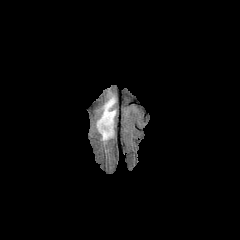
FLAIR MRI.
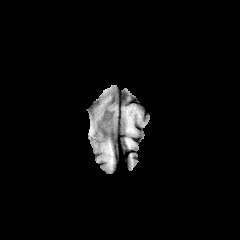
T1-weighted MR.
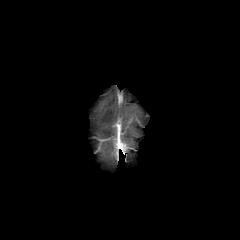
Post-contrast T1-weighted MRI.
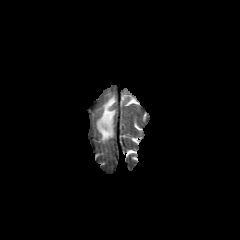
Same slice, T2-weighted MR image.
Brain. Axial slice.
peritumoral edema — l=96, t=94, r=116, b=139